Slice 110 of 155; Image width 240 mm, 1.00 mm slice spacing
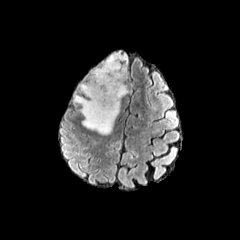
FLAIR magnetic resonance.
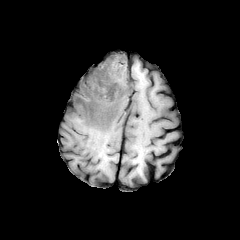
T1-weighted MRI.
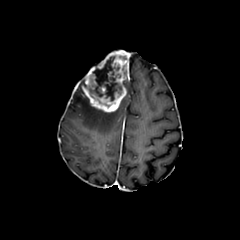
Post-contrast T1-weighted MR.
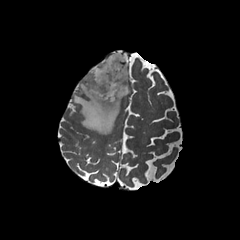
T2-weighted MR.
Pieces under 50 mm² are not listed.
enhancing tumor at box=[81, 50, 129, 112]
peritumoral edema at box=[73, 79, 121, 134]
necrotic tumor core at box=[89, 56, 121, 107]